Axial view.
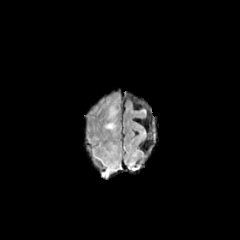
FLAIR MRI.
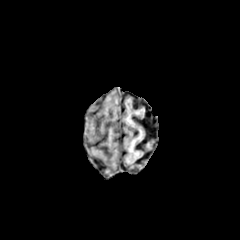
Same slice, T1-weighted magnetic resonance.
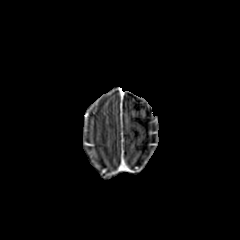
Post-contrast T1-weighted MR image of the same slice.
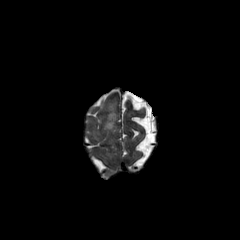
Same slice, T2-weighted MRI.
The peritumoral edema lies within [105, 107, 115, 129].